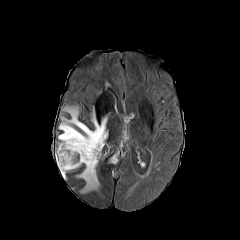
FLAIR MRI.
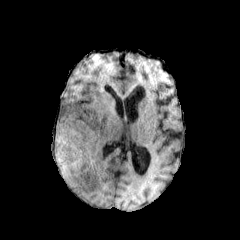
T1-weighted magnetic resonance.
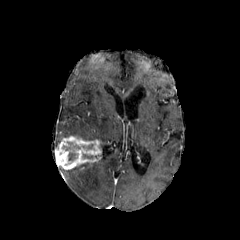
Same slice, post-contrast T1-weighted magnetic resonance.
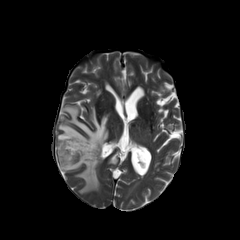
T2-weighted magnetic resonance.
Axial view, 240x240 px
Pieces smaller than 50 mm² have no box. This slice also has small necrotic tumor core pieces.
<segmentation>
  <peritumoral_edema>77 162 99 192, 58 106 107 148</peritumoral_edema>
  <enhancing_tumor>55 135 101 169</enhancing_tumor>
</segmentation>